Axial slice | Slice 72 of 155
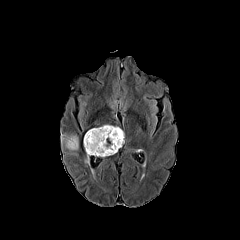
FLAIR MR image.
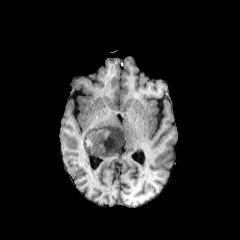
Same slice, T1-weighted MR.
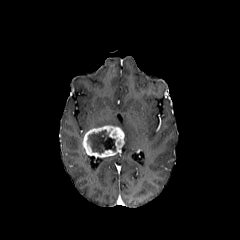
Same slice, post-contrast T1-weighted magnetic resonance.
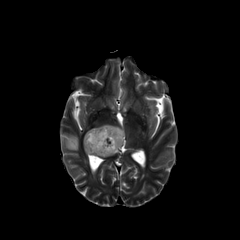
T2-weighted MRI.
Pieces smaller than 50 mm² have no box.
necrotic_tumor_core:
  - rect(87, 130, 115, 153)
enhancing_tumor:
  - rect(83, 125, 124, 157)
peritumoral_edema:
  - rect(61, 132, 78, 155)